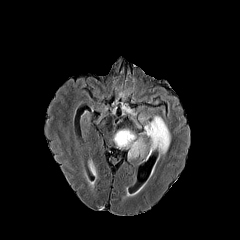
FLAIR MRI.
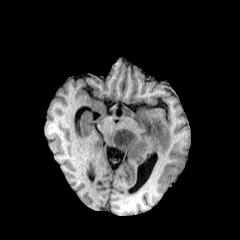
T1-weighted MR.
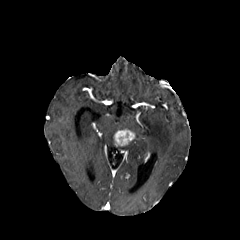
Post-contrast T1-weighted MR.
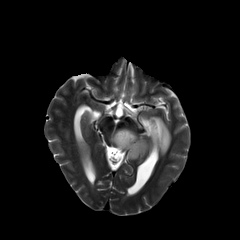
Same slice, T2-weighted MR.
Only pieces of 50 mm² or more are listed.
<segmentation>
  <peritumoral_edema>rect(117, 116, 170, 159)</peritumoral_edema>
  <enhancing_tumor>rect(114, 129, 135, 146)</enhancing_tumor>
</segmentation>